Brain. Axial plane. 240x240.
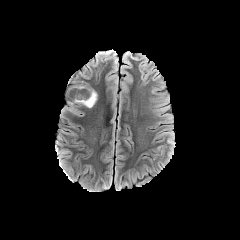
FLAIR MR image.
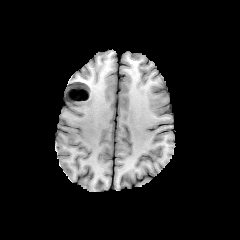
T1-weighted MR image.
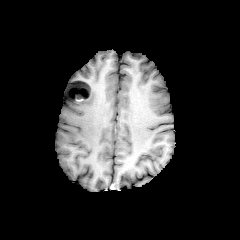
Post-contrast T1-weighted MR.
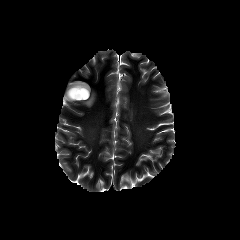
T2-weighted MRI of the same slice.
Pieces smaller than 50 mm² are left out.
Segmented structures:
- necrotic tumor core: {"x1": 70, "y1": 88, "x2": 88, "y2": 100}, {"x1": 67, "y1": 82, "x2": 89, "y2": 98}
- peritumoral edema: {"x1": 66, "y1": 89, "x2": 96, "y2": 107}
- enhancing tumor: {"x1": 69, "y1": 87, "x2": 89, "y2": 101}